Head. Image covers 240 mm x 240 mm.
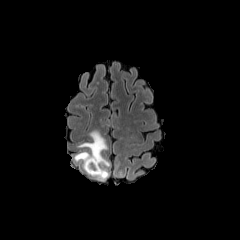
FLAIR MRI.
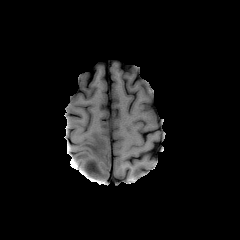
T1-weighted MR.
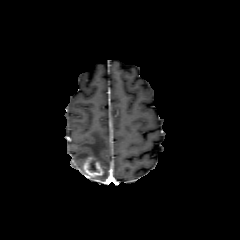
Post-contrast T1-weighted MR of the same slice.
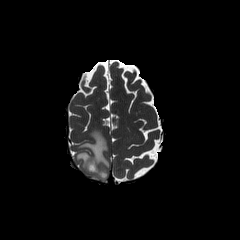
T2-weighted magnetic resonance.
The peritumoral edema is at box=[74, 130, 110, 181]. The necrotic tumor core lies within box=[88, 161, 98, 172]. The enhancing tumor lies within box=[83, 157, 103, 178].